Brain, Axial plane
FLAIR MR.
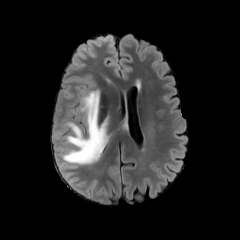
T1-weighted MR image.
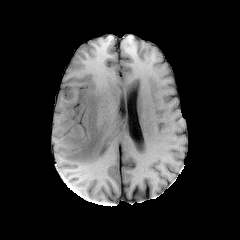
Post-contrast T1-weighted MR image.
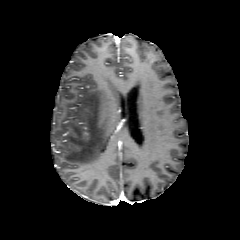
T2-weighted MR.
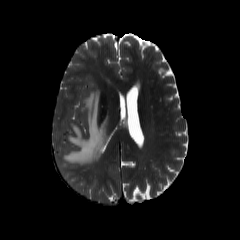
peritumoral edema = [x1=61, y1=89, x2=108, y2=165]